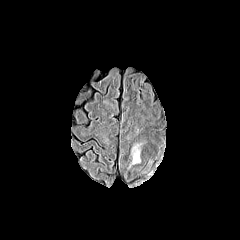
FLAIR MRI.
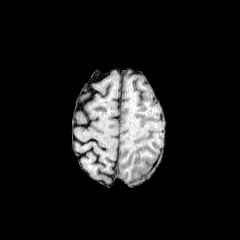
T1-weighted magnetic resonance of the same slice.
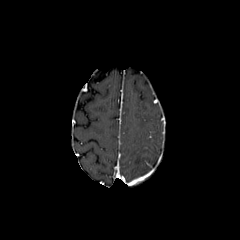
Post-contrast T1-weighted MR of the same slice.
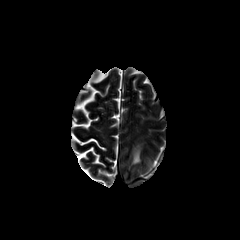
Same slice, T2-weighted MR.
Axial plane
peritumoral edema at <box>132,145,140,163</box>